FLAIR MR image.
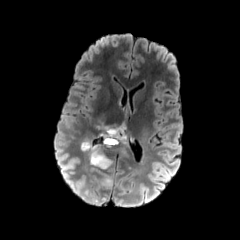
T1-weighted MR image.
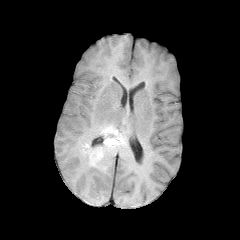
Post-contrast T1-weighted magnetic resonance.
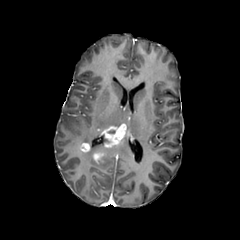
T2-weighted MR.
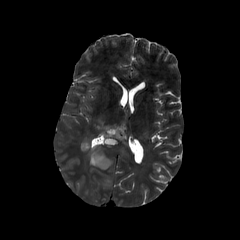
Brain
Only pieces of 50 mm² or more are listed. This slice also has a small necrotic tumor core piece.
enhancing tumor — 81:143:89:151, 92:151:104:163, 100:123:128:147
peritumoral edema — 81:132:112:169, 111:136:129:156, 102:178:112:186